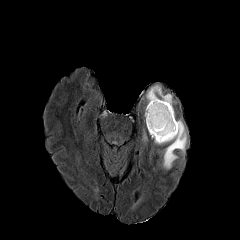
FLAIR MR image.
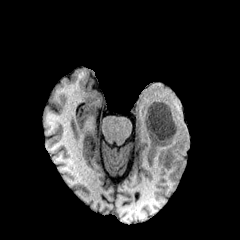
T1-weighted MR of the same slice.
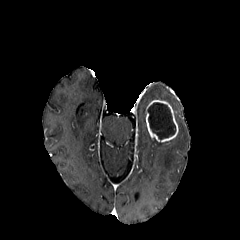
Post-contrast T1-weighted magnetic resonance.
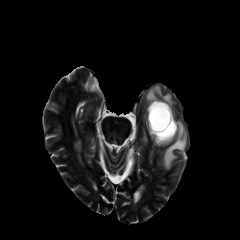
T2-weighted MRI of the same slice.
Brain. Axial view.
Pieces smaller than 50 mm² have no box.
<segmentation>
  <peritumoral_edema>{"x1": 162, "y1": 119, "x2": 187, "y2": 169}, {"x1": 145, "y1": 84, "x2": 175, "y2": 109}</peritumoral_edema>
  <necrotic_tumor_core>{"x1": 147, "y1": 102, "x2": 175, "y2": 139}</necrotic_tumor_core>
  <enhancing_tumor>{"x1": 145, "y1": 100, "x2": 178, "y2": 142}</enhancing_tumor>
</segmentation>